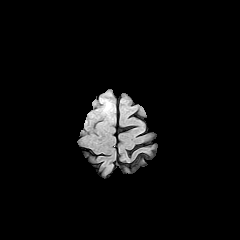
FLAIR MRI.
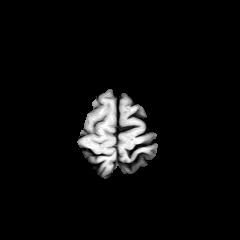
T1-weighted MRI of the same slice.
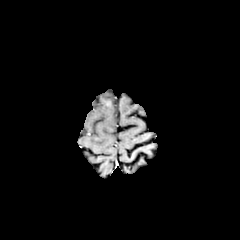
Same slice, post-contrast T1-weighted MR image.
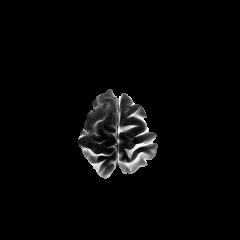
Same slice, T2-weighted MR image.
Brain. Axial view.
{"peritumoral_edema": ["l=103, t=101, r=110, b=111"]}